FLAIR MRI.
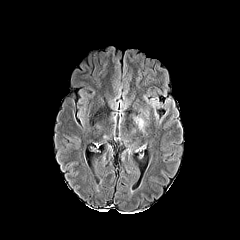
T1-weighted magnetic resonance.
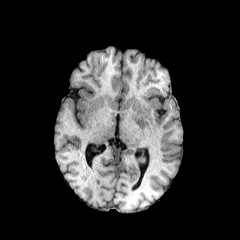
Post-contrast T1-weighted MRI.
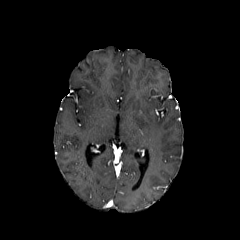
T2-weighted MR.
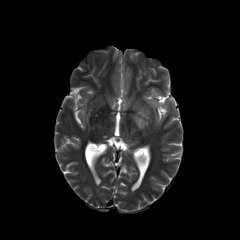
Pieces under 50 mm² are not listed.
Segmented structures:
• peritumoral edema: (x1=134, y1=117, x2=146, y2=129)